Slice 58/155; Head
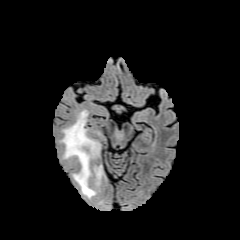
FLAIR MR.
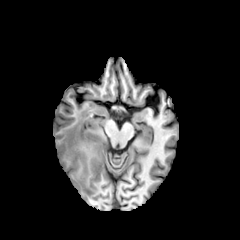
Same slice, T1-weighted MR image.
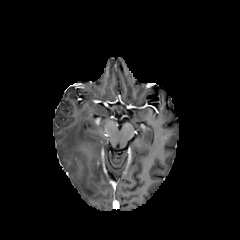
Post-contrast T1-weighted MR image.
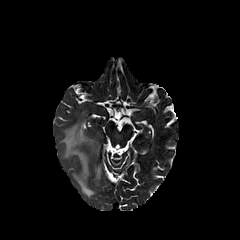
Same slice, T2-weighted MR.
peritumoral edema: 60,110,100,198; 95,165,102,185